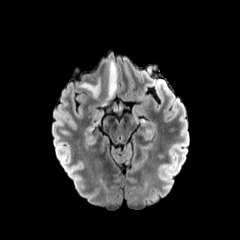
FLAIR magnetic resonance.
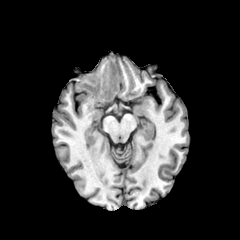
T1-weighted MR image.
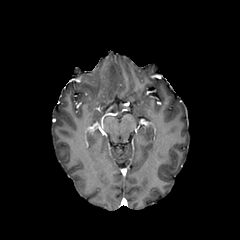
Post-contrast T1-weighted MR image.
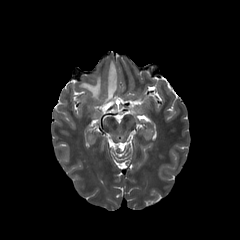
T2-weighted magnetic resonance of the same slice.
Head
2 peritumoral edema regions are located at l=105, t=61, r=117, b=101; l=80, t=78, r=100, b=98.